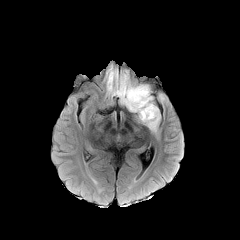
FLAIR MR.
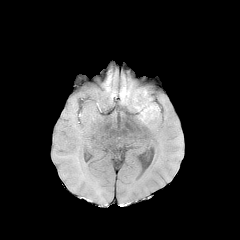
Same slice, T1-weighted MR image.
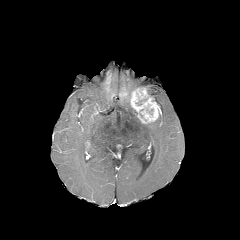
Post-contrast T1-weighted MRI of the same slice.
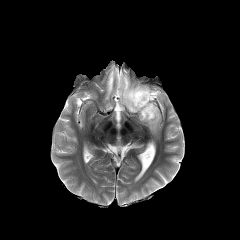
T2-weighted MRI.
Brain
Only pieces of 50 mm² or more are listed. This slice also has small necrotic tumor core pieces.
enhancing tumor — <bbox>130, 87, 159, 123</bbox>
peritumoral edema — <bbox>115, 81, 151, 112</bbox>, <bbox>145, 110, 160, 132</bbox>